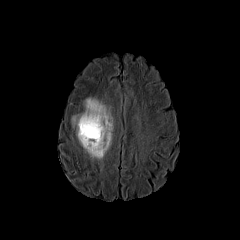
FLAIR MRI.
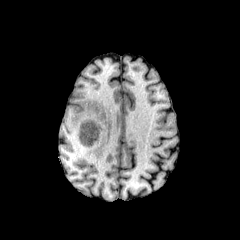
T1-weighted magnetic resonance of the same slice.
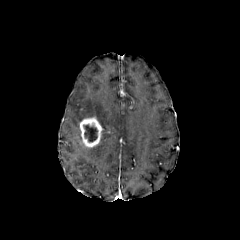
Post-contrast T1-weighted magnetic resonance.
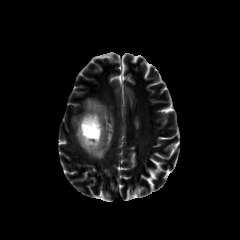
T2-weighted MR.
Head
peritumoral edema at bbox=[72, 97, 113, 159]
enhancing tumor at bbox=[79, 116, 103, 148]
necrotic tumor core at bbox=[85, 125, 96, 141]